FLAIR MRI.
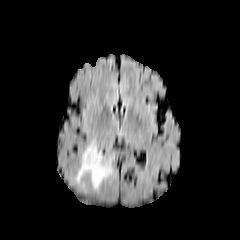
T1-weighted MR.
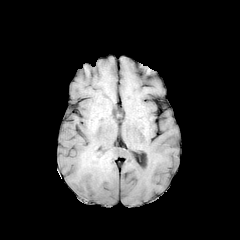
Post-contrast T1-weighted magnetic resonance.
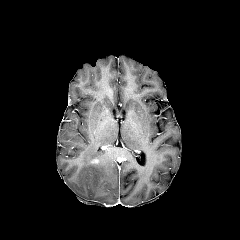
T2-weighted MRI.
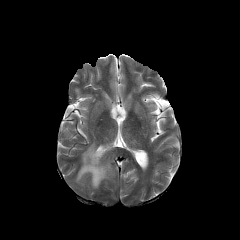
Head. Axial slice.
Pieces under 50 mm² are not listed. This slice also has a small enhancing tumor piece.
The peritumoral edema is bounded by [75, 142, 124, 189].